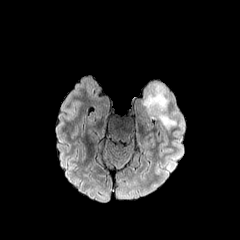
FLAIR magnetic resonance.
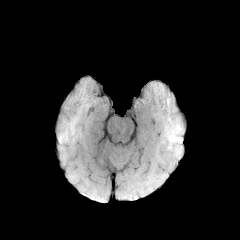
T1-weighted MR image.
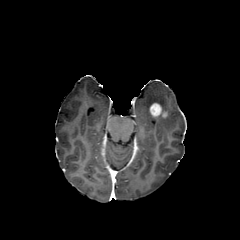
Post-contrast T1-weighted MR.
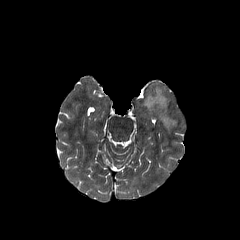
T2-weighted magnetic resonance of the same slice.
Head
enhancing_tumor:
  - (left=149, top=102, right=166, bottom=118)
peritumoral_edema:
  - (left=157, top=115, right=175, bottom=129)
  - (left=143, top=86, right=168, bottom=115)